FLAIR MRI.
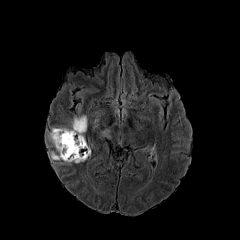
T1-weighted MR.
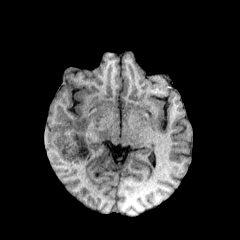
Post-contrast T1-weighted MR image.
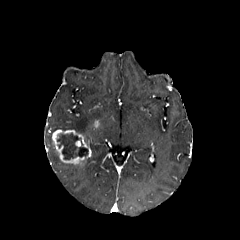
T2-weighted MR image.
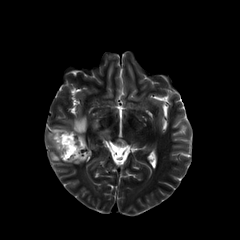
Axial plane; Image size 240x240
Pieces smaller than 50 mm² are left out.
The largest necrotic tumor core region lies within <box>56,133,88,159</box>. The 3 largest peritumoral edema regions are bounded by <box>49,151,59,161</box>, <box>70,116,87,135</box>, <box>101,129,110,138</box>. The largest enhancing tumor region appears at <box>52,129,90,165</box>.